FLAIR MR image.
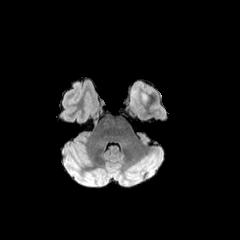
T1-weighted MRI.
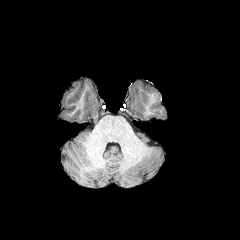
Post-contrast T1-weighted magnetic resonance.
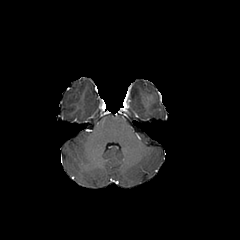
T2-weighted MR.
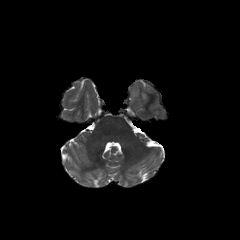
Axial slice
Findings:
* peritumoral edema: [130, 80, 154, 102]